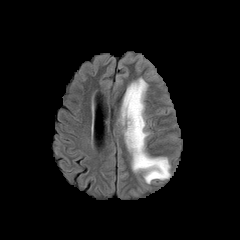
FLAIR MR.
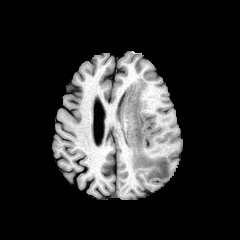
T1-weighted MR.
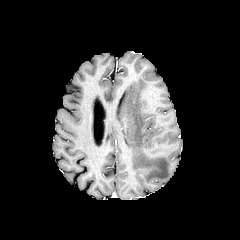
Same slice, post-contrast T1-weighted MRI.
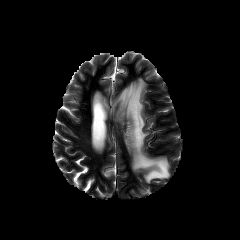
T2-weighted MRI.
Brain
peritumoral edema — box(121, 78, 170, 183)